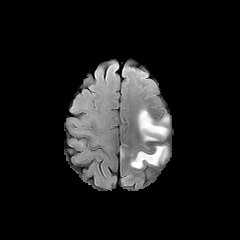
FLAIR MRI.
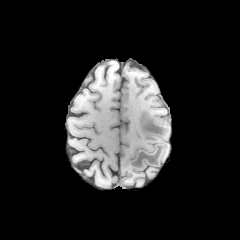
T1-weighted magnetic resonance.
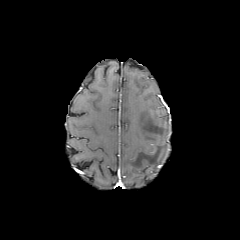
Post-contrast T1-weighted MRI.
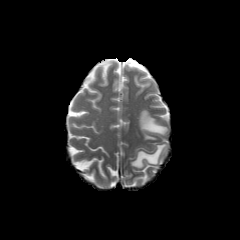
T2-weighted MRI.
Image size 240x240; Axial plane; Head
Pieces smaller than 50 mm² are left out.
peritumoral edema — (x1=131, y1=146, x2=167, y2=168), (x1=138, y1=109, x2=167, y2=140)